Head
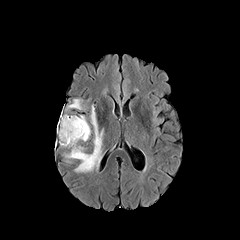
FLAIR magnetic resonance.
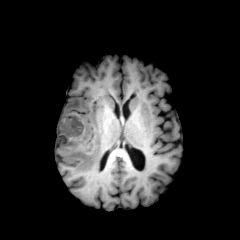
T1-weighted magnetic resonance of the same slice.
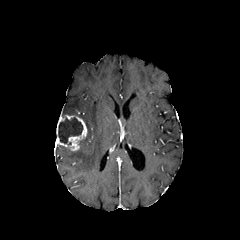
Post-contrast T1-weighted MR image.
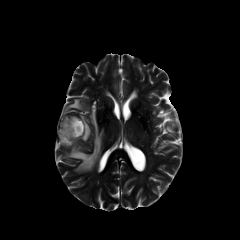
T2-weighted MRI.
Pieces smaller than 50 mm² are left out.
peritumoral edema at l=80, t=115, r=90, b=141; l=66, t=99, r=83, b=110; l=65, t=105, r=103, b=172
necrotic tumor core at l=58, t=117, r=82, b=143
enhancing tumor at l=56, t=115, r=87, b=151